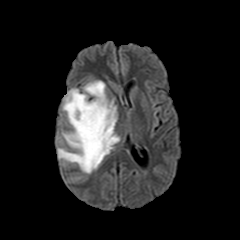
FLAIR MR image.
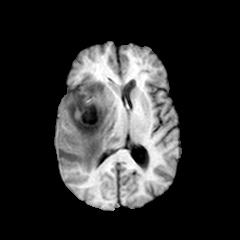
T1-weighted MRI of the same slice.
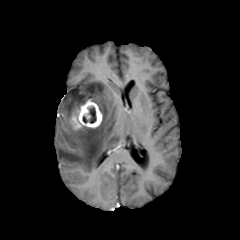
Post-contrast T1-weighted magnetic resonance of the same slice.
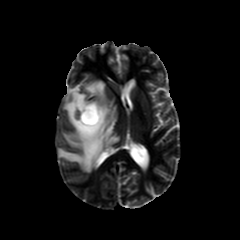
T2-weighted MR image.
Brain, Axial plane
enhancing tumor = region(70, 100, 102, 129)
necrotic tumor core = region(83, 107, 96, 123)
peritumoral edema = region(58, 80, 119, 173)